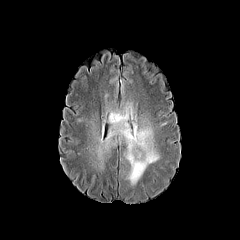
FLAIR MR.
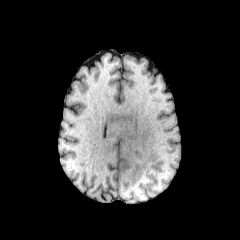
T1-weighted MR image of the same slice.
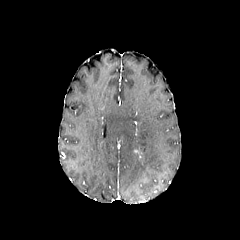
Post-contrast T1-weighted magnetic resonance.
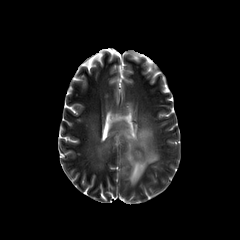
T2-weighted MR image.
240x240 px; Head
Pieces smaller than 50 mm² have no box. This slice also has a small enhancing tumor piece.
* peritumoral edema: rect(85, 90, 162, 186)